Head. Axial plane.
FLAIR magnetic resonance.
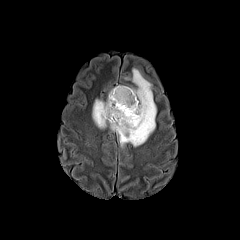
T1-weighted MR.
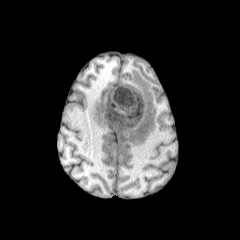
Post-contrast T1-weighted MRI.
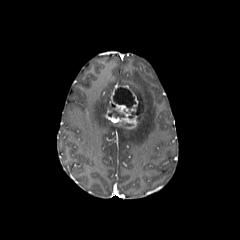
T2-weighted MR image.
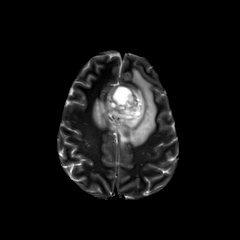
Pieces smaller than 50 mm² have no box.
* peritumoral edema: left=92, top=68, right=156, bottom=147
* enhancing tumor: left=109, top=85, right=138, bottom=112; left=105, top=104, right=137, bottom=129
* necrotic tumor core: left=113, top=87, right=137, bottom=118; left=108, top=110, right=124, bottom=117